Brain | Axial view
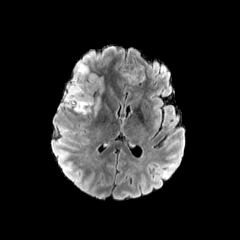
FLAIR MRI.
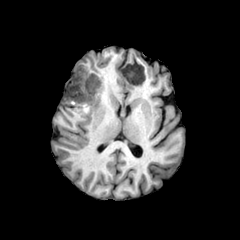
Same slice, T1-weighted MR image.
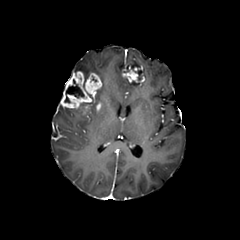
Same slice, post-contrast T1-weighted MR image.
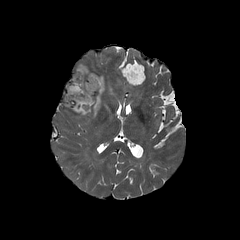
T2-weighted MR.
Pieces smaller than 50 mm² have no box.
Segmented structures:
* necrotic tumor core: {"x1": 64, "y1": 85, "x2": 84, "y2": 102}, {"x1": 78, "y1": 90, "x2": 99, "y2": 110}
* peritumoral edema: {"x1": 74, "y1": 60, "x2": 91, "y2": 74}, {"x1": 74, "y1": 108, "x2": 97, "y2": 116}, {"x1": 117, "y1": 63, "x2": 140, "y2": 73}
* enhancing tumor: {"x1": 121, "y1": 64, "x2": 144, "y2": 86}, {"x1": 60, "y1": 70, "x2": 102, "y2": 114}